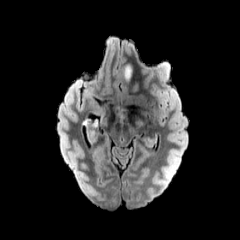
FLAIR MR image.
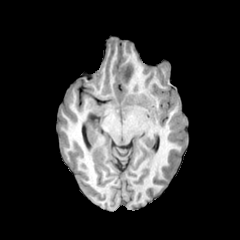
T1-weighted MR image.
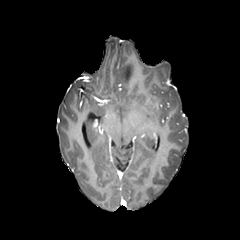
Post-contrast T1-weighted MR.
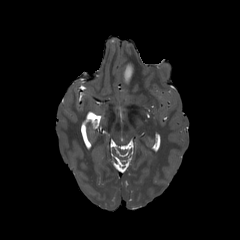
T2-weighted MR image.
Axial view | 240x240
peritumoral_edema:
  - 122, 63, 133, 80